Slice index 73 | Head | Axial plane
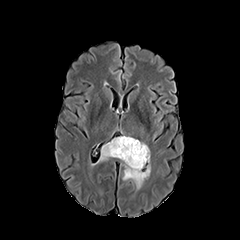
FLAIR MR.
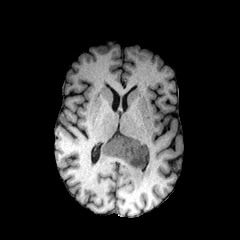
T1-weighted magnetic resonance of the same slice.
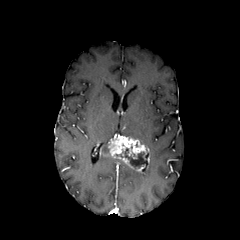
Post-contrast T1-weighted MR.
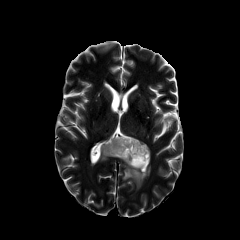
T2-weighted MRI.
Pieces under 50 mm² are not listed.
necrotic tumor core: <bbox>123, 148, 148, 169</bbox> | enhancing tumor: <bbox>106, 136, 149, 169</bbox> | peritumoral edema: <bbox>98, 143, 112, 161</bbox>, <bbox>122, 163, 150, 189</bbox>